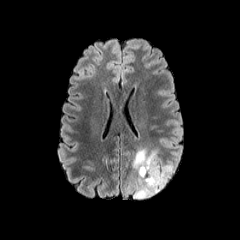
FLAIR MR.
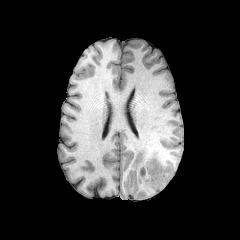
T1-weighted MR image.
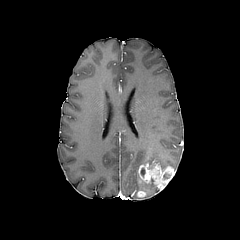
Same slice, post-contrast T1-weighted MRI.
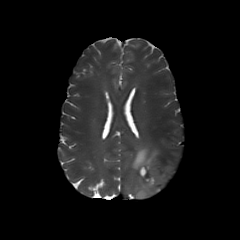
T2-weighted MR.
Brain
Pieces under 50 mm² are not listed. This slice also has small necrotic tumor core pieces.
enhancing tumor = (138,162,174,189), (137,190,145,197)
peritumoral edema = (132,147,175,199)